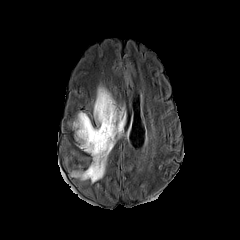
FLAIR magnetic resonance.
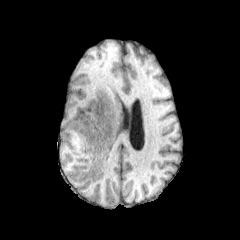
T1-weighted MR image.
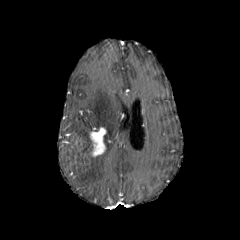
Post-contrast T1-weighted magnetic resonance of the same slice.
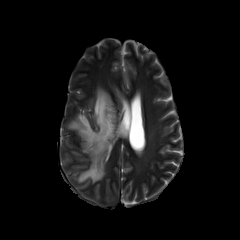
T2-weighted MR of the same slice.
enhancing tumor: <box>89,127,106,156</box> | peritumoral edema: <box>72,87,124,182</box>